FLAIR magnetic resonance.
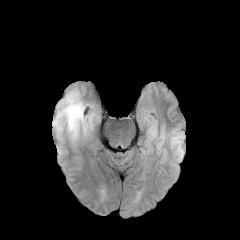
T1-weighted MRI.
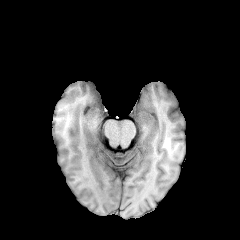
Post-contrast T1-weighted MR image.
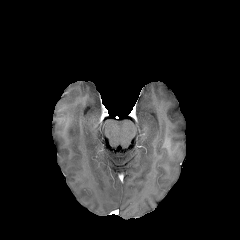
T2-weighted MR.
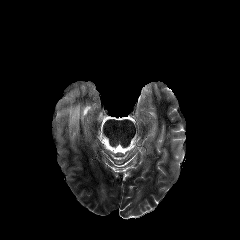
Axial view, 240x240 px, Brain
Segmented structures:
* peritumoral edema: (63, 92, 83, 136)